FLAIR magnetic resonance.
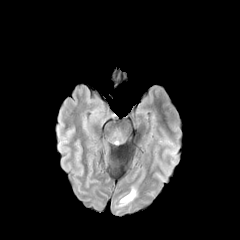
T1-weighted MR image.
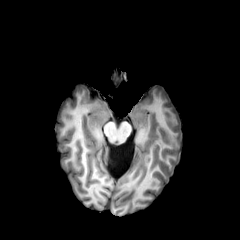
Post-contrast T1-weighted MR image.
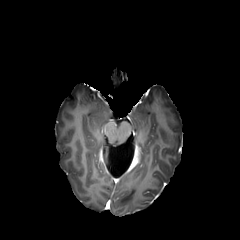
T2-weighted MR.
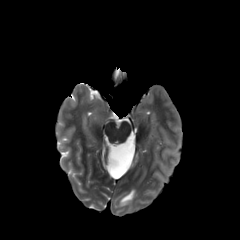
Head
{"peritumoral_edema": ["[119,189,135,206]"]}